FLAIR MR image.
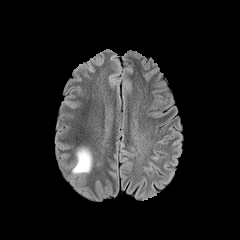
T1-weighted MRI.
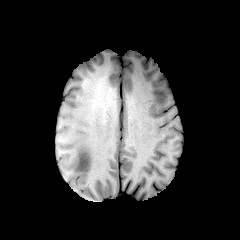
Post-contrast T1-weighted magnetic resonance.
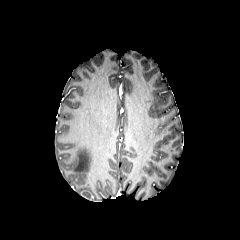
T2-weighted magnetic resonance.
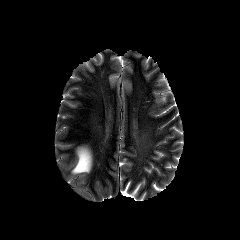
Axial slice.
The peritumoral edema is bounded by {"x1": 72, "y1": 147, "x2": 92, "y2": 173}.